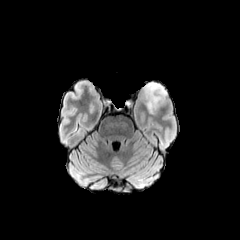
FLAIR magnetic resonance.
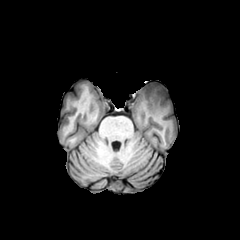
Same slice, T1-weighted magnetic resonance.
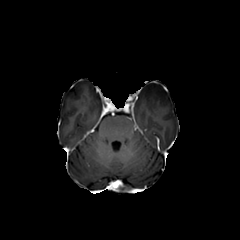
Post-contrast T1-weighted magnetic resonance.
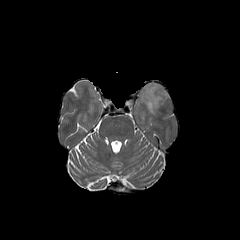
T2-weighted magnetic resonance.
Axial slice
Annotated regions:
* peritumoral edema: (143, 82, 168, 114)